FLAIR MRI.
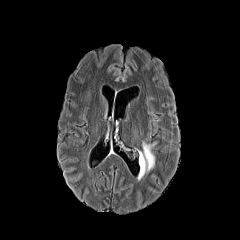
T1-weighted MR image.
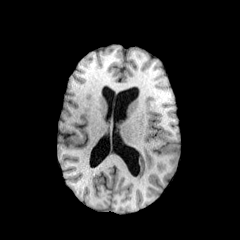
Post-contrast T1-weighted MR.
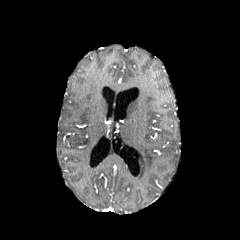
T2-weighted MR image.
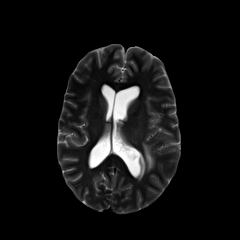
Axial plane.
peritumoral edema: region(138, 143, 154, 179)